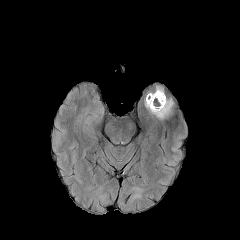
FLAIR MR.
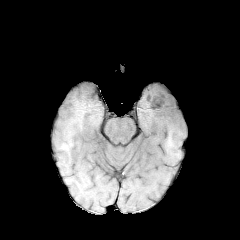
Same slice, T1-weighted MRI.
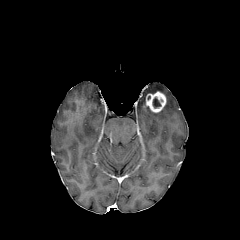
Post-contrast T1-weighted magnetic resonance of the same slice.
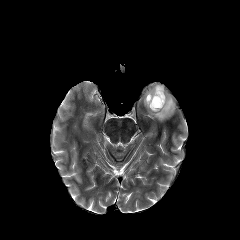
T2-weighted MR image.
Head, 240x240 px, Axial plane
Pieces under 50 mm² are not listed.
Segmented structures:
• peritumoral edema: x1=147 y1=85 x2=164 y2=94, x1=144 y1=96 x2=173 y2=120
• necrotic tumor core: x1=153 y1=97 x2=161 y2=108
• enhancing tumor: x1=146 y1=91 x2=166 y2=112